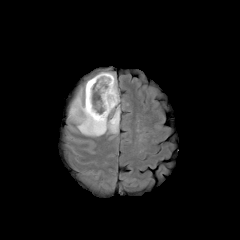
FLAIR MRI.
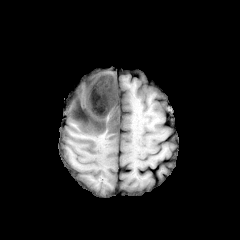
T1-weighted MRI of the same slice.
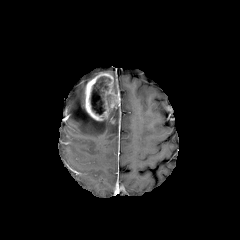
Post-contrast T1-weighted MR image.
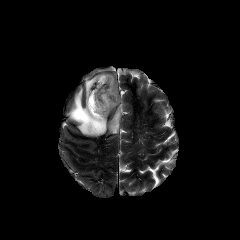
T2-weighted MR of the same slice.
Axial plane
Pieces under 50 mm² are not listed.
The peritumoral edema is at (x1=67, y1=67, x2=120, y2=136). The necrotic tumor core lies within (x1=90, y1=91, x2=105, y2=114). The largest enhancing tumor region lies within (x1=85, y1=72, x2=120, y2=120).